Slice 109 of 155; 240x240; Axial slice; Head
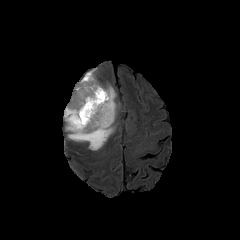
FLAIR MR.
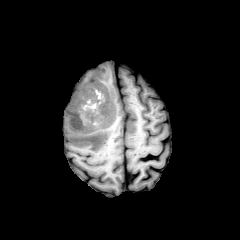
Same slice, T1-weighted MRI.
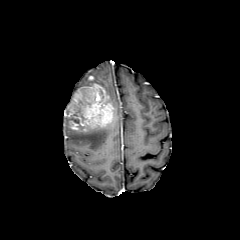
Post-contrast T1-weighted magnetic resonance of the same slice.
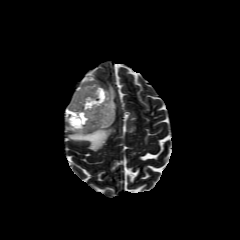
T2-weighted MR.
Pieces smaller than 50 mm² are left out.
* peritumoral edema: box(105, 85, 116, 108); box(64, 116, 114, 150); box(81, 69, 96, 80)
* necrotic tumor core: box(73, 108, 84, 120); box(66, 116, 79, 123)
* enhancing tumor: box(64, 83, 115, 131)